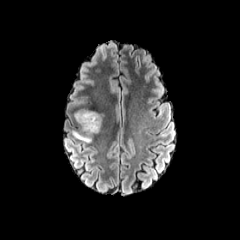
FLAIR magnetic resonance.
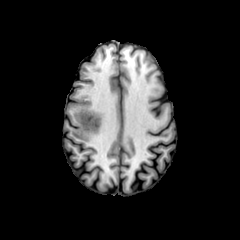
T1-weighted magnetic resonance of the same slice.
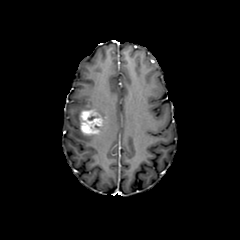
Post-contrast T1-weighted MR image.
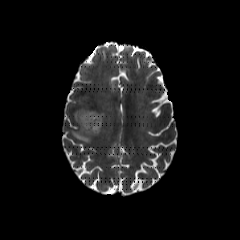
Same slice, T2-weighted MR.
Axial view
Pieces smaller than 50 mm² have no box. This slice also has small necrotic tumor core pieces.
enhancing_tumor:
  - bbox=[79, 110, 102, 134]
peritumoral_edema:
  - bbox=[72, 123, 104, 143]
  - bbox=[74, 109, 88, 125]